FLAIR MRI.
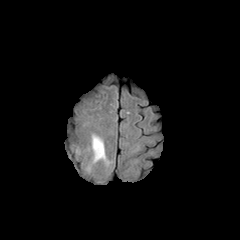
T1-weighted MR image.
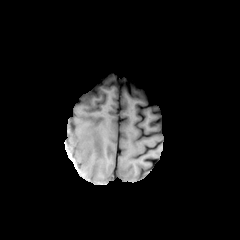
Post-contrast T1-weighted MR.
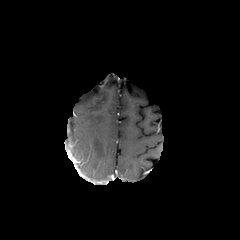
T2-weighted MR.
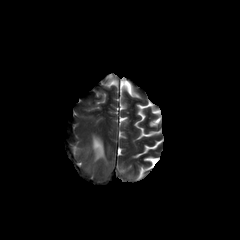
Axial slice; Brain
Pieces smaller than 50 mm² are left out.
The largest peritumoral edema region is at 82, 134, 108, 172.